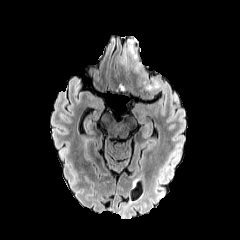
FLAIR magnetic resonance.
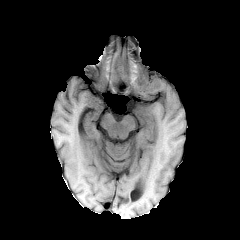
T1-weighted magnetic resonance.
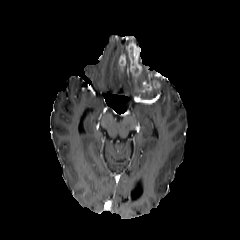
Same slice, post-contrast T1-weighted MR image.
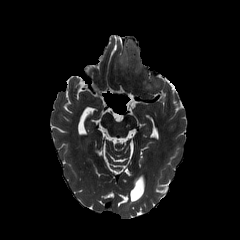
Same slice, T2-weighted MR image.
240x240 px.
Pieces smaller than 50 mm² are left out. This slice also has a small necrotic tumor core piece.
enhancing tumor: x1=119 y1=38 x2=142 y2=76, x1=143 y1=79 x2=159 y2=90